Image covers 240 mm x 240 mm, Slice 69/155, Head
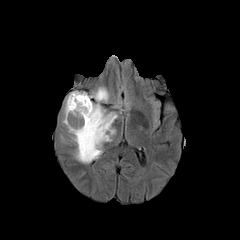
FLAIR MR image.
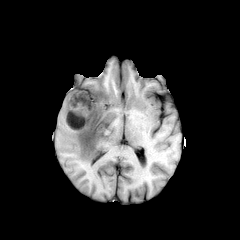
T1-weighted MR image.
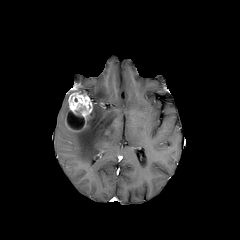
Post-contrast T1-weighted MR.
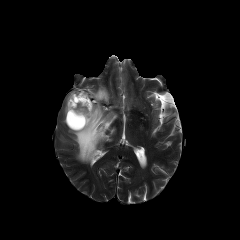
T2-weighted MR image of the same slice.
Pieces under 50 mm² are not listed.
Segmented structures:
• peritumoral edema: (x1=68, y1=86, x2=117, y2=163)
• necrotic tumor core: (x1=66, y1=110, x2=84, y2=129)
• enhancing tumor: (x1=64, y1=91, x2=92, y2=131)